Axial plane. Brain. Slice index 72.
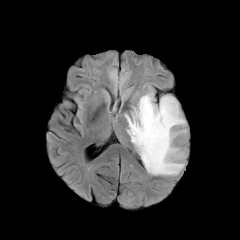
FLAIR MR image.
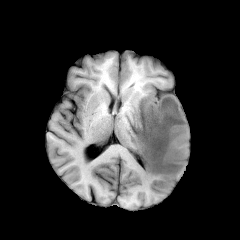
Same slice, T1-weighted MRI.
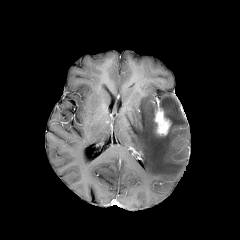
Post-contrast T1-weighted MRI.
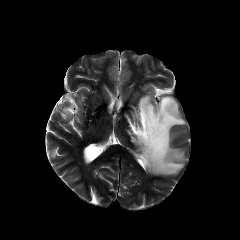
T2-weighted MR.
The enhancing tumor is located at <box>154,108,170,135</box>. The peritumoral edema is bounded by <box>125,92,186,175</box>.